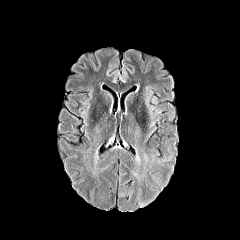
FLAIR MRI.
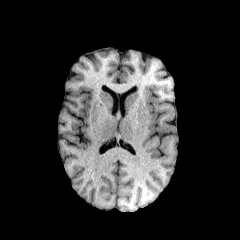
Same slice, T1-weighted MR.
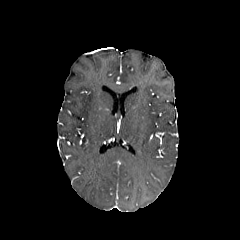
Post-contrast T1-weighted magnetic resonance.
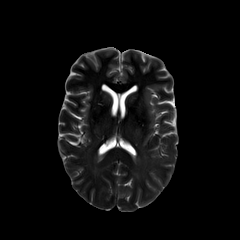
T2-weighted magnetic resonance of the same slice.
Brain
Segmented structures:
• peritumoral edema: region(94, 148, 173, 177)